240x240; Axial view
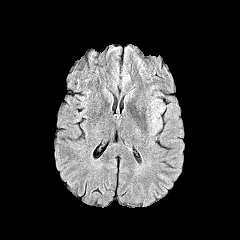
FLAIR MR image.
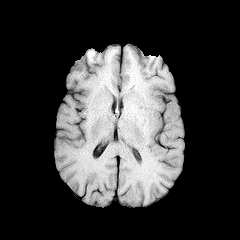
T1-weighted MR of the same slice.
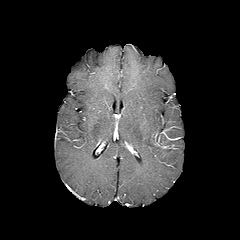
Post-contrast T1-weighted MR.
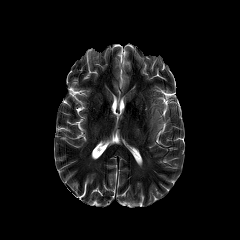
T2-weighted MR.
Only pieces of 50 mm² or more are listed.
peritumoral edema at [152,109,162,131]